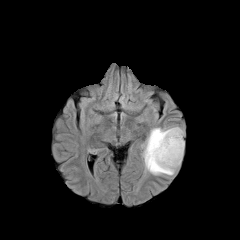
FLAIR MRI.
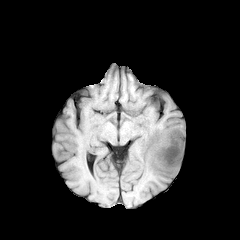
T1-weighted magnetic resonance.
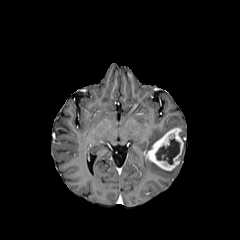
Post-contrast T1-weighted MR image.
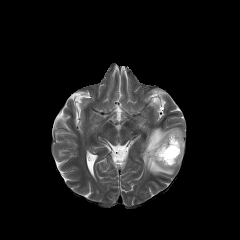
Same slice, T2-weighted MRI.
Axial view
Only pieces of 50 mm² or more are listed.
* peritumoral edema: (143, 128, 177, 175)
* necrotic tumor core: (156, 138, 179, 164)
* enhancing tumor: (145, 128, 183, 170)